FLAIR MRI.
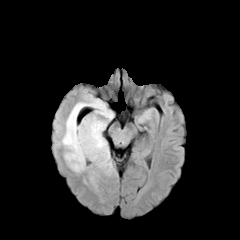
T1-weighted MR image.
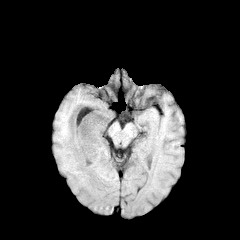
Post-contrast T1-weighted MR.
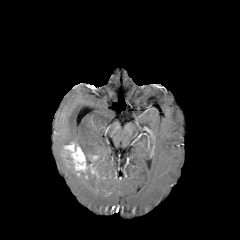
T2-weighted MR image.
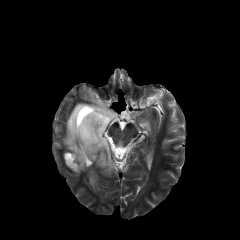
Axial slice, 240x240
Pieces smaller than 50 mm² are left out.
<segmentation>
  <necrotic_tumor_core>[65,154,73,168]</necrotic_tumor_core>
  <peritumoral_edema>[57,95,115,189]</peritumoral_edema>
  <enhancing_tumor>[64,142,88,171]</enhancing_tumor>
</segmentation>